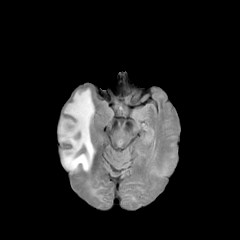
FLAIR MR.
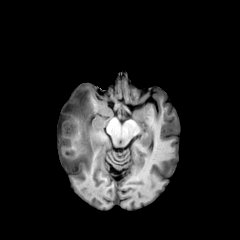
T1-weighted magnetic resonance.
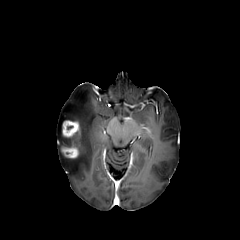
Post-contrast T1-weighted MR of the same slice.
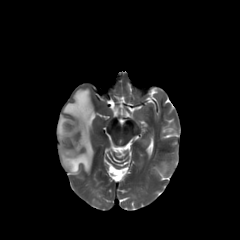
T2-weighted magnetic resonance.
Brain | Axial plane | Image size 240x240
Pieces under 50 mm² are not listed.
2 enhancing tumor regions are located at bbox(61, 143, 78, 158); bbox(62, 120, 80, 137). 2 peritumoral edema regions appear at bbox(58, 117, 69, 142); bbox(61, 89, 94, 171). The largest necrotic tumor core region is at bbox(60, 137, 73, 148).